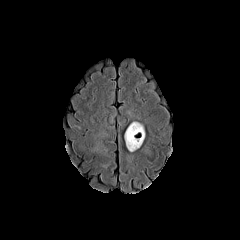
FLAIR magnetic resonance.
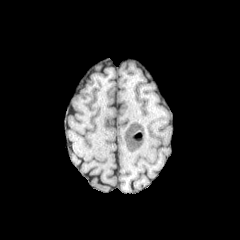
T1-weighted MRI of the same slice.
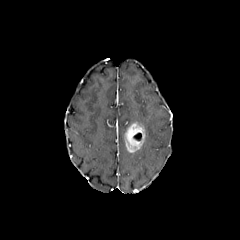
Same slice, post-contrast T1-weighted magnetic resonance.
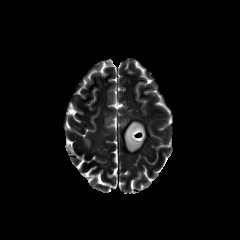
T2-weighted MR of the same slice.
enhancing_tumor:
  - <bbox>124, 122, 145, 152</bbox>
necrotic_tumor_core:
  - <bbox>133, 133, 141, 140</bbox>